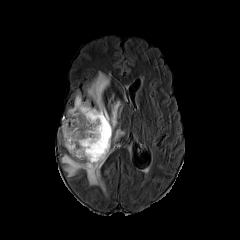
FLAIR MRI.
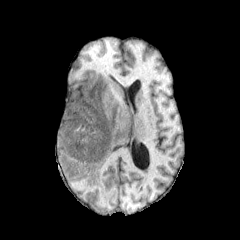
T1-weighted MR.
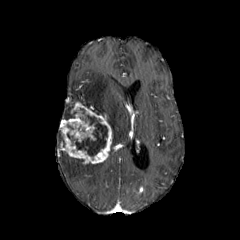
Same slice, post-contrast T1-weighted magnetic resonance.
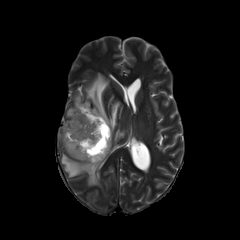
T2-weighted MR image of the same slice.
Head
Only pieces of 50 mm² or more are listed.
The largest necrotic tumor core region is bounded by 67 115 107 156. The 3 largest peritumoral edema regions are located at 112 128 124 141, 75 72 120 132, 61 154 104 190. The enhancing tumor is bounded by 59 101 112 164.